FLAIR MR.
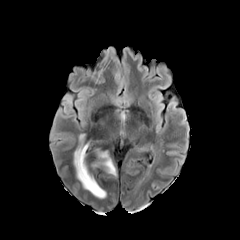
T1-weighted MR.
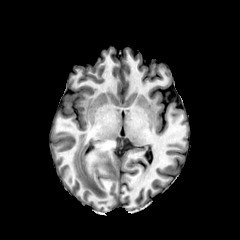
Post-contrast T1-weighted MR.
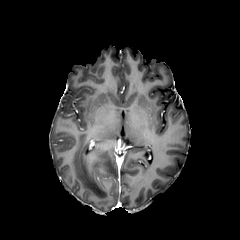
T2-weighted MR image.
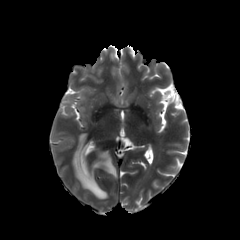
Brain
{"peritumoral_edema": ["bbox=[73, 134, 106, 198]", "bbox=[93, 151, 116, 176]"]}